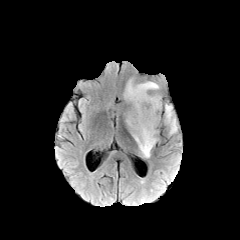
FLAIR MR.
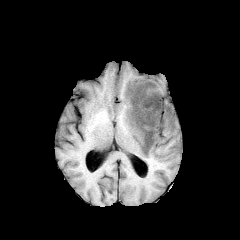
T1-weighted MRI.
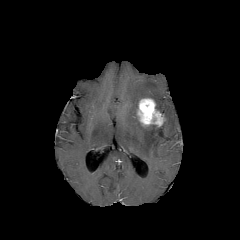
Same slice, post-contrast T1-weighted magnetic resonance.
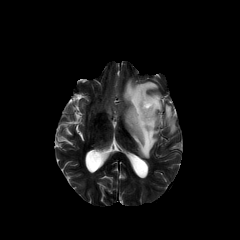
T2-weighted MR.
Head, Axial view, Image size 240x240
peritumoral edema — bbox=[164, 104, 177, 134]; bbox=[124, 79, 162, 158]
enhancing tumor — bbox=[136, 98, 164, 126]